FLAIR MRI.
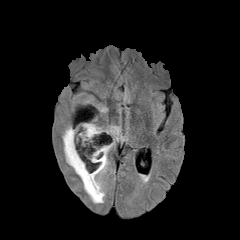
T1-weighted MRI.
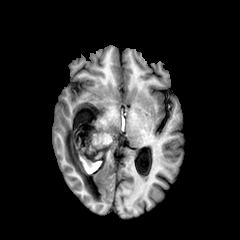
Post-contrast T1-weighted MR.
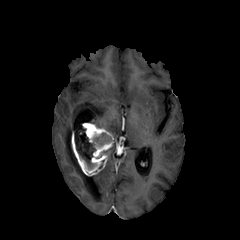
T2-weighted MRI.
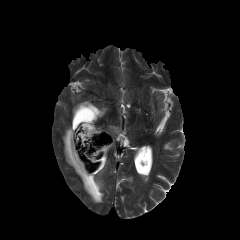
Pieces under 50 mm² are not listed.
enhancing tumor: (71, 123, 115, 176) | necrotic tumor core: (75, 128, 95, 168), (94, 133, 111, 144) | peritumoral edema: (104, 125, 120, 146), (62, 126, 109, 203)